Axial plane | Brain
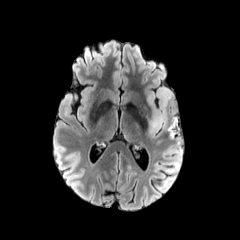
FLAIR MR.
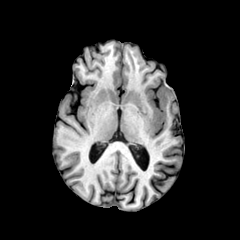
Same slice, T1-weighted MR.
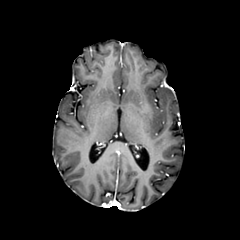
Post-contrast T1-weighted MR.
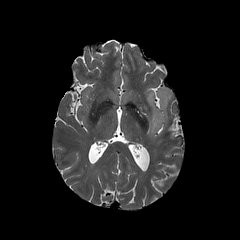
T2-weighted MR of the same slice.
The peritumoral edema is located at 148, 87, 172, 134.